240x240 px
FLAIR MR.
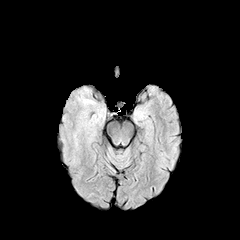
T1-weighted MR image.
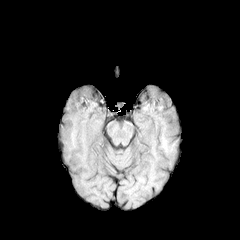
Post-contrast T1-weighted MR.
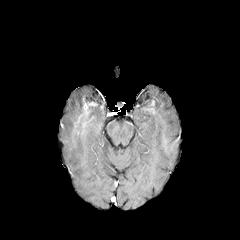
T2-weighted magnetic resonance.
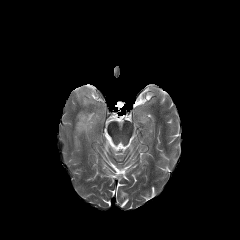
The peritumoral edema is located at (left=77, top=107, right=92, bottom=129).